Brain, 240x240 px, Image covers 240 mm x 240 mm
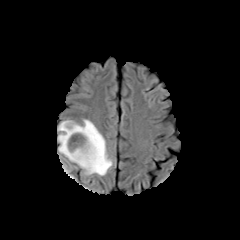
FLAIR MRI.
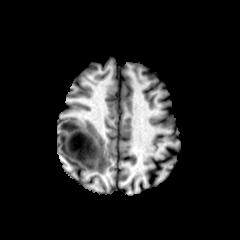
T1-weighted magnetic resonance.
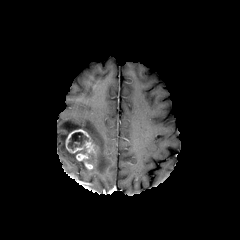
Post-contrast T1-weighted MRI.
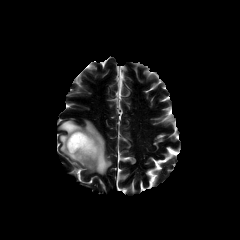
T2-weighted MRI of the same slice.
necrotic tumor core — (x1=68, y1=132, x2=88, y2=149)
peritumoral edema — (x1=58, y1=119, x2=112, y2=175)
enhancing tumor — (x1=65, y1=129, x2=97, y2=169)